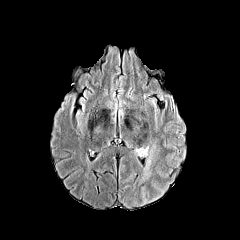
FLAIR MR image.
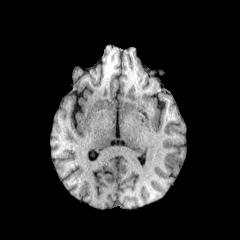
T1-weighted MR.
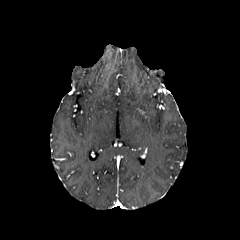
Post-contrast T1-weighted MR.
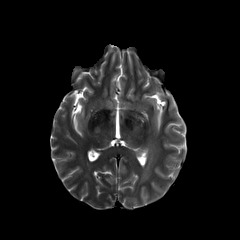
T2-weighted magnetic resonance.
Brain | Axial view
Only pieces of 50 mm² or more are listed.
peritumoral edema = (x1=136, y1=148, x2=144, y2=155)